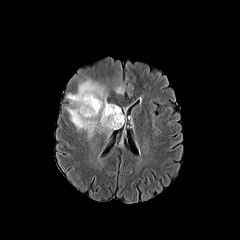
FLAIR MR.
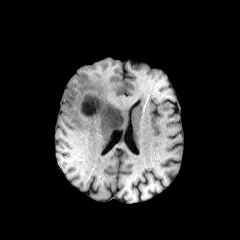
T1-weighted magnetic resonance.
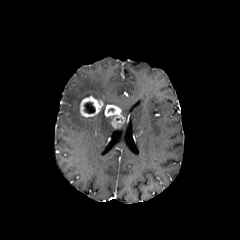
Post-contrast T1-weighted MRI of the same slice.
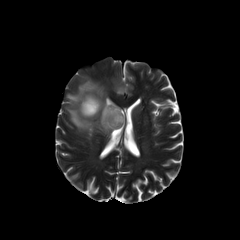
Same slice, T2-weighted MR image.
Brain
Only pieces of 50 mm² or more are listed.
The 2 largest peritumoral edema regions are bounded by [65,71,115,136], [116,86,123,93]. The largest necrotic tumor core region is at [84,102,95,113]. 2 enhancing tumor regions are bounded by [104,105,124,128], [80,95,103,117].